FLAIR MR image.
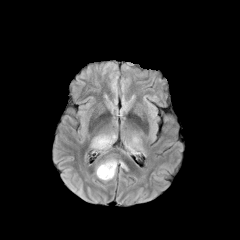
T1-weighted MR.
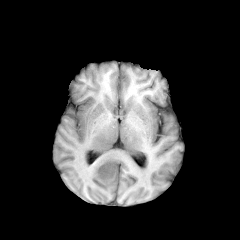
Post-contrast T1-weighted MRI.
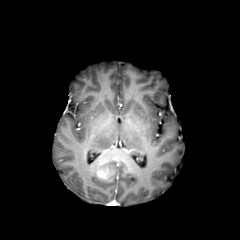
T2-weighted MR image.
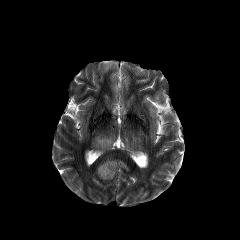
Brain
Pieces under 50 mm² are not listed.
peritumoral_edema:
  - rect(92, 135, 115, 151)
  - rect(104, 158, 127, 179)
enhancing_tumor:
  - rect(96, 160, 113, 180)